Slice 52 of 155, Axial plane
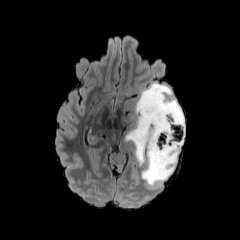
FLAIR magnetic resonance.
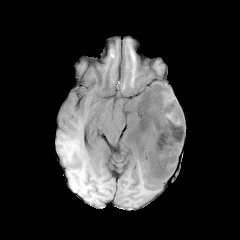
Same slice, T1-weighted magnetic resonance.
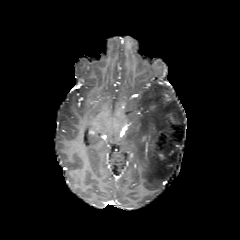
Post-contrast T1-weighted MRI of the same slice.
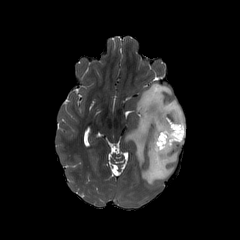
Same slice, T2-weighted MRI.
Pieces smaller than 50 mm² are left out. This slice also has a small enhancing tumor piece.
peritumoral edema: bbox(125, 82, 185, 186)